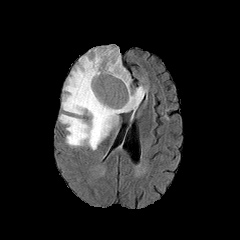
FLAIR MR image.
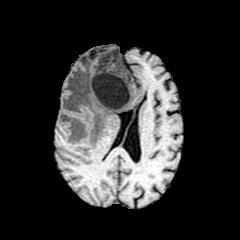
T1-weighted MR image of the same slice.
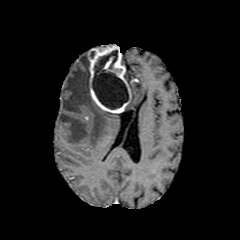
Post-contrast T1-weighted MR image.
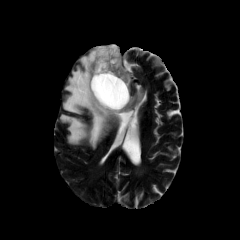
T2-weighted magnetic resonance.
Axial plane.
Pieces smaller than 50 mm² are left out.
The enhancing tumor appears at box=[87, 44, 131, 113]. The largest necrotic tumor core region appears at box=[92, 50, 128, 109]. The 3 largest peritumoral edema regions appear at box=[124, 86, 146, 112]; box=[59, 55, 118, 149]; box=[125, 70, 131, 85].